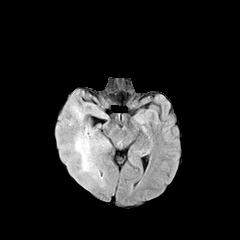
FLAIR MR image.
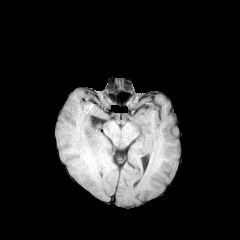
Same slice, T1-weighted MR.
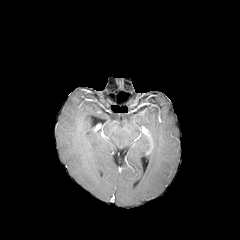
Post-contrast T1-weighted MRI.
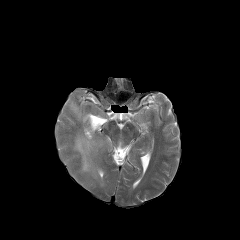
T2-weighted MR.
Head
peritumoral edema = (x1=73, y1=125, x2=107, y2=185), (x1=70, y1=103, x2=84, y2=125)